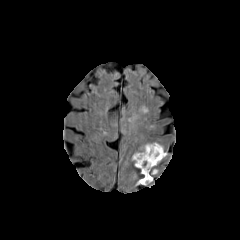
FLAIR MR image.
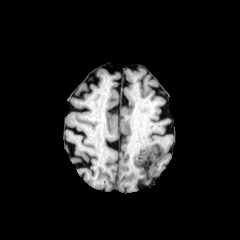
T1-weighted MR of the same slice.
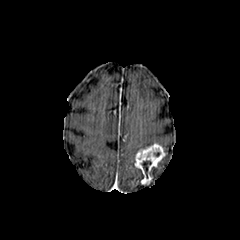
Post-contrast T1-weighted MR image of the same slice.
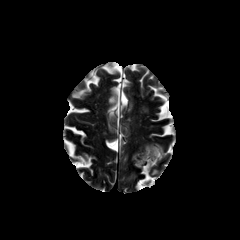
T2-weighted MR image of the same slice.
Brain, Axial slice, Image size 240x240
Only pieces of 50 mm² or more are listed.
necrotic tumor core: bounding box x1=142, y1=161, x2=151, y2=178
enhancing tumor: bounding box x1=134, y1=143, x2=166, y2=184
peritumoral edema: bounding box x1=150, y1=168, x2=158, y2=176